FLAIR magnetic resonance.
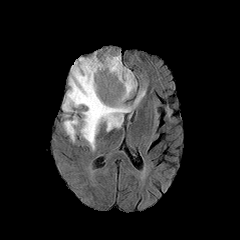
T1-weighted MR.
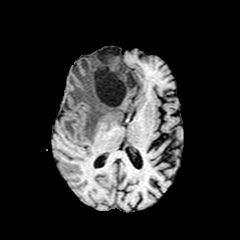
Post-contrast T1-weighted MR.
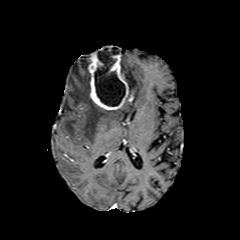
T2-weighted MR image.
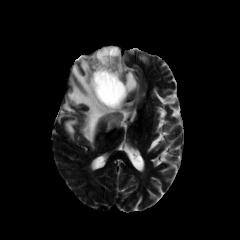
Head; 240x240; Axial slice
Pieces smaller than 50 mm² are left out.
The 3 largest peritumoral edema regions appear at x1=121, y1=61, x2=137, y2=98; x1=64, y1=116, x2=79, y2=141; x1=63, y1=57, x2=145, y2=149. The necrotic tumor core is located at x1=94, y1=47, x2=125, y2=105. The largest enhancing tumor region is bounded by x1=88, y1=47, x2=128, y2=110.